FLAIR MR image.
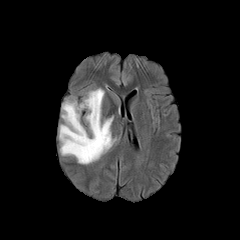
T1-weighted magnetic resonance.
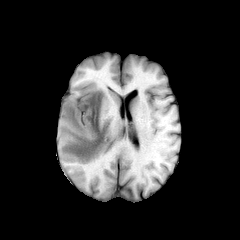
Post-contrast T1-weighted MRI.
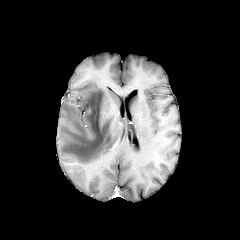
T2-weighted MRI.
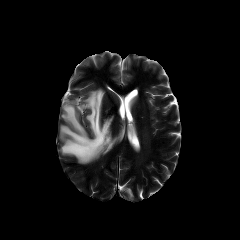
Axial slice
The peritumoral edema lies within (left=59, top=88, right=116, bottom=164).